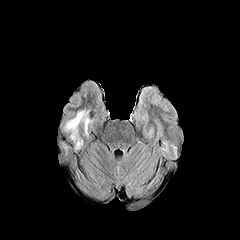
FLAIR MR.
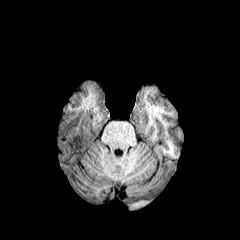
T1-weighted MRI.
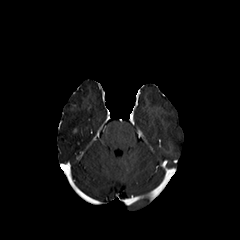
Same slice, post-contrast T1-weighted MR image.
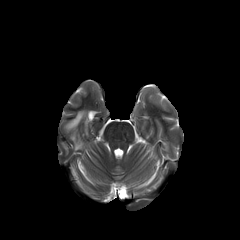
T2-weighted MR image.
Head
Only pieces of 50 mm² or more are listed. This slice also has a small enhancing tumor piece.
peritumoral edema: bbox=[64, 110, 92, 141]; bbox=[75, 139, 82, 149]